Axial view
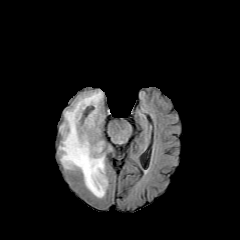
FLAIR MRI.
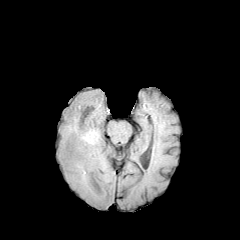
T1-weighted MRI.
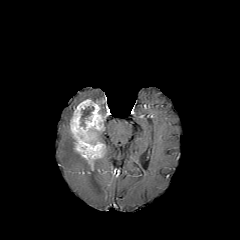
Same slice, post-contrast T1-weighted MR image.
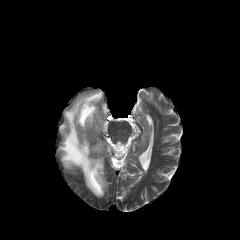
T2-weighted MRI of the same slice.
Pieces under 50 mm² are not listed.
Segmented structures:
- necrotic tumor core: x1=81 y1=106 x2=94 y2=126
- enhancing tumor: x1=70 y1=99 x2=104 y2=169
- peritumoral edema: x1=59 y1=90 x2=107 y2=197